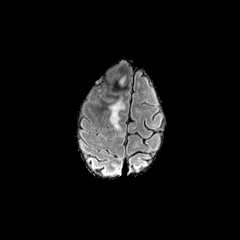
FLAIR magnetic resonance.
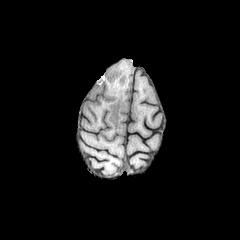
Same slice, T1-weighted magnetic resonance.
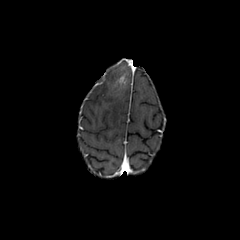
Post-contrast T1-weighted MRI.
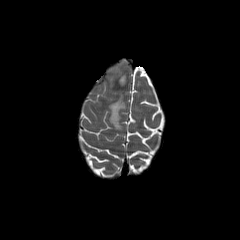
T2-weighted MR image.
Image size 240x240 | Axial view | Brain
peritumoral_edema:
  - (109, 99, 124, 130)
enhancing_tumor:
  - (118, 74, 125, 84)